Head; Image size 240x240
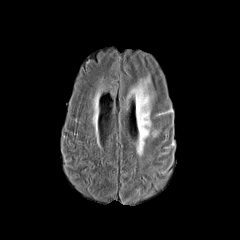
FLAIR MRI.
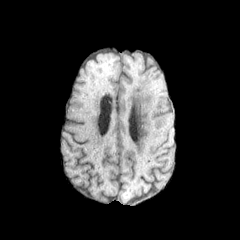
T1-weighted MR image.
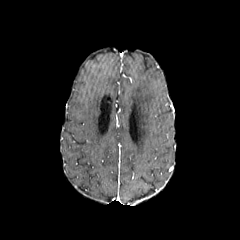
Post-contrast T1-weighted magnetic resonance of the same slice.
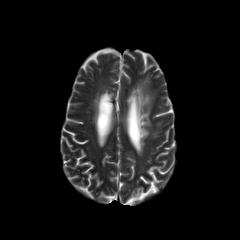
T2-weighted MR image of the same slice.
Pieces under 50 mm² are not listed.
<segmentation>
  <peritumoral_edema>(129, 77, 152, 154)</peritumoral_edema>
</segmentation>